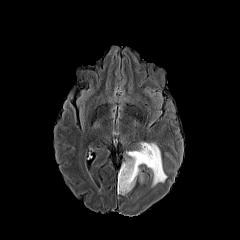
FLAIR MR.
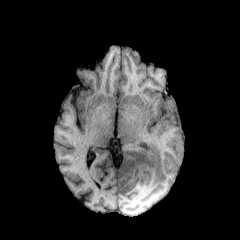
Same slice, T1-weighted magnetic resonance.
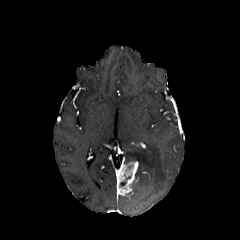
Post-contrast T1-weighted MR image.
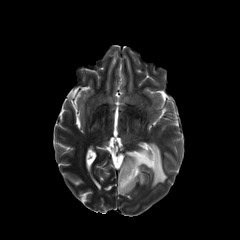
T2-weighted MR image.
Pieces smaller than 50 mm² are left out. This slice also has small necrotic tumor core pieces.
peritumoral edema: rect(132, 168, 143, 186); rect(125, 143, 166, 185) | enhancing tumor: rect(117, 161, 138, 195)